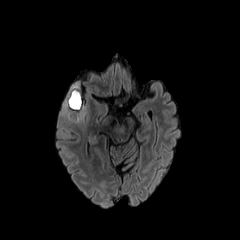
FLAIR magnetic resonance.
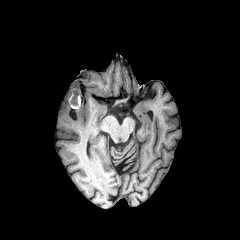
T1-weighted magnetic resonance.
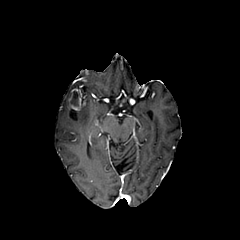
Post-contrast T1-weighted MR image of the same slice.
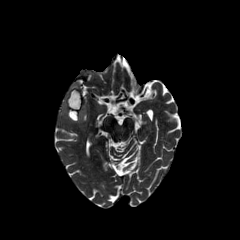
Same slice, T2-weighted MR image.
Axial plane; Brain
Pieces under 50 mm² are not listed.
necrotic tumor core = (70, 91, 79, 106)
peritumoral edema = (75, 108, 84, 121), (63, 93, 70, 118)
enhancing tumor = (69, 88, 81, 110)